FLAIR magnetic resonance.
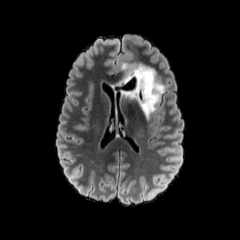
T1-weighted magnetic resonance.
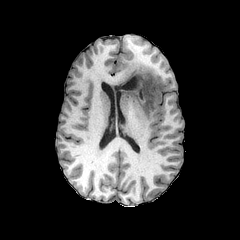
Post-contrast T1-weighted MR.
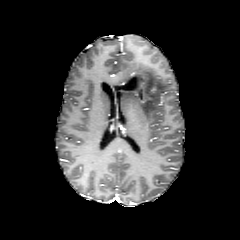
T2-weighted magnetic resonance.
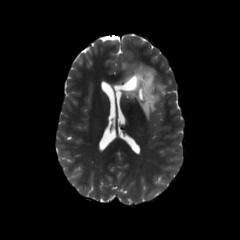
Axial plane; 240x240
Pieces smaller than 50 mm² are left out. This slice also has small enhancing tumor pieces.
<segmentation>
  <necrotic_tumor_core>box(115, 77, 136, 90)</necrotic_tumor_core>
  <peritumoral_edema>box(118, 63, 165, 119)</peritumoral_edema>
</segmentation>